FLAIR magnetic resonance.
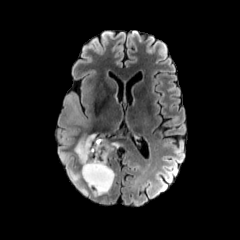
T1-weighted MR.
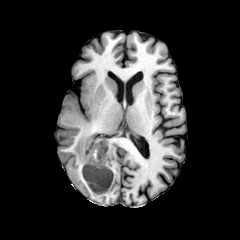
Post-contrast T1-weighted MRI.
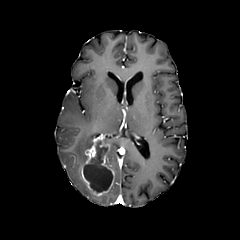
T2-weighted MRI.
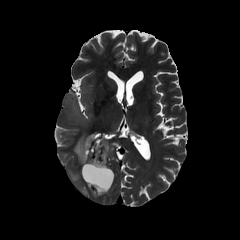
Axial slice
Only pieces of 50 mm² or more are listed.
Findings:
• necrotic tumor core: l=83, t=141, r=112, b=192
• peritumoral edema: l=64, t=80, r=93, b=126; l=74, t=134, r=95, b=164
• enhancing tumor: l=81, t=138, r=114, b=196